Axial plane; Head
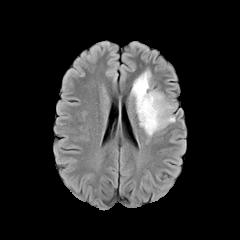
FLAIR magnetic resonance.
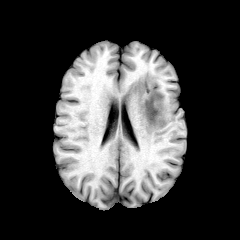
T1-weighted MRI of the same slice.
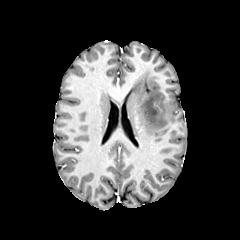
Post-contrast T1-weighted MRI of the same slice.
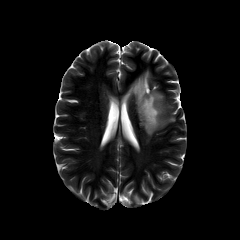
T2-weighted MR image.
peritumoral edema = 131 70 175 136